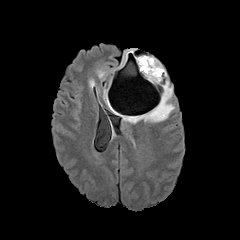
FLAIR MRI.
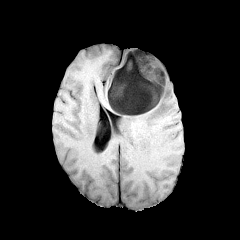
T1-weighted MRI.
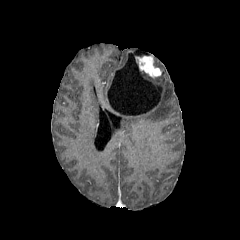
Post-contrast T1-weighted MR image.
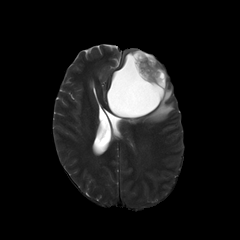
T2-weighted MRI.
240x240, Brain, Axial slice
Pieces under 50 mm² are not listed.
Annotated regions:
- peritumoral edema: (left=143, top=72, right=161, bottom=83), (left=129, top=81, right=174, bottom=123)
- necrotic tumor core: (left=107, top=51, right=164, bottom=115)
- enhancing tumor: (left=109, top=105, right=158, bottom=116), (left=138, top=56, right=161, bottom=77)